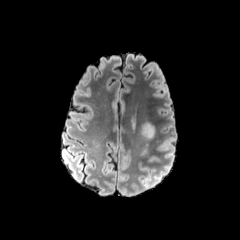
FLAIR MRI.
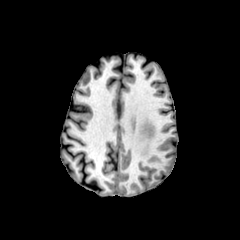
T1-weighted magnetic resonance.
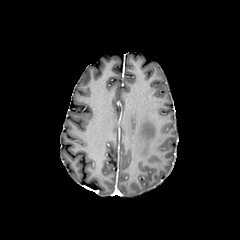
Post-contrast T1-weighted magnetic resonance.
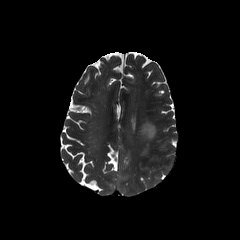
T2-weighted MR image of the same slice.
240x240 px. Axial slice. Head.
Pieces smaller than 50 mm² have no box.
* peritumoral edema: (142, 124, 153, 138)